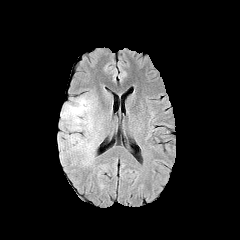
FLAIR MR.
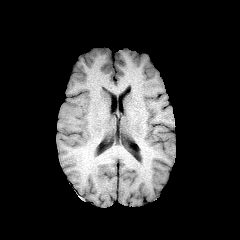
Same slice, T1-weighted MRI.
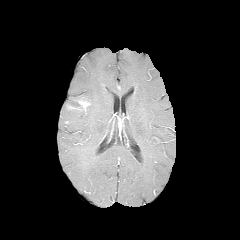
Post-contrast T1-weighted MR image of the same slice.
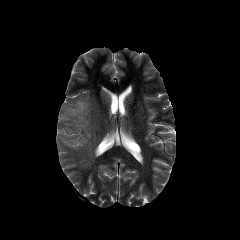
T2-weighted MR image of the same slice.
Axial slice | Image size 240x240
The peritumoral edema lies within (61, 96, 96, 165).